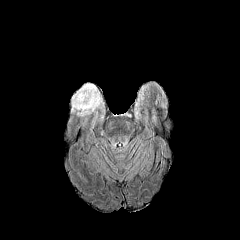
FLAIR MR image.
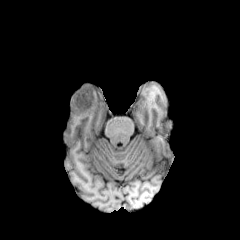
T1-weighted MRI.
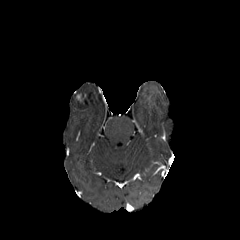
Same slice, post-contrast T1-weighted MR.
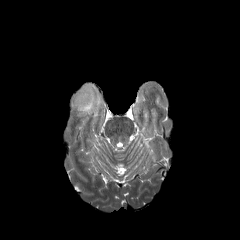
Same slice, T2-weighted MRI.
Axial slice
The peritumoral edema is bounded by (left=69, top=82, right=105, bottom=117). The enhancing tumor appears at (left=76, top=92, right=88, bottom=104).